FLAIR MR image.
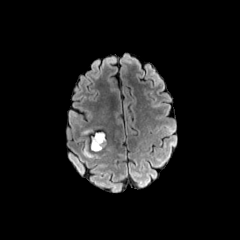
T1-weighted magnetic resonance.
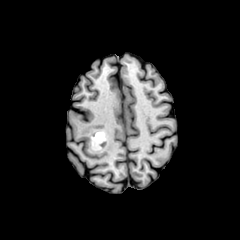
Post-contrast T1-weighted magnetic resonance.
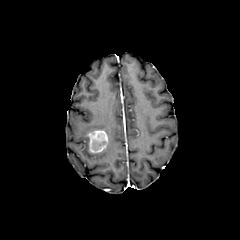
T2-weighted MR image.
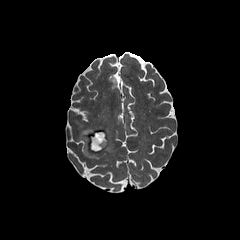
Axial view
enhancing tumor = 88,130,107,152
peritumoral edema = 83,144,94,157; 82,128,93,134